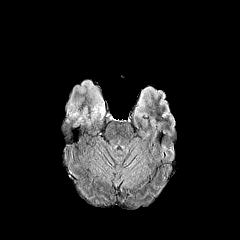
FLAIR MRI.
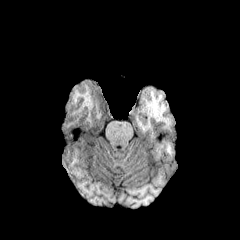
Same slice, T1-weighted magnetic resonance.
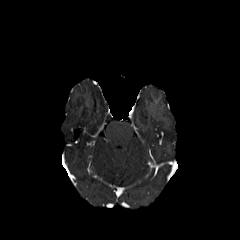
Same slice, post-contrast T1-weighted MRI.
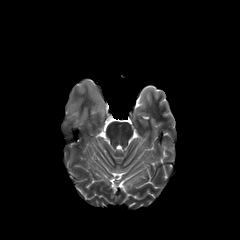
T2-weighted magnetic resonance of the same slice.
Brain, Image size 240x240
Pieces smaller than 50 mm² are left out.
Findings:
- peritumoral edema: <box>93,98,104,115</box>